FLAIR MR image.
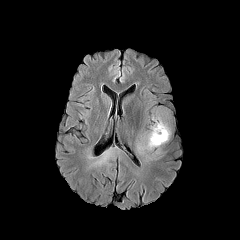
T1-weighted MR image.
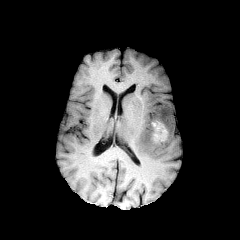
Post-contrast T1-weighted MRI.
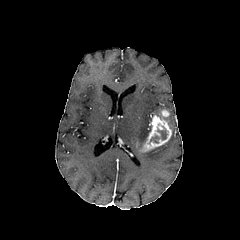
T2-weighted MR image.
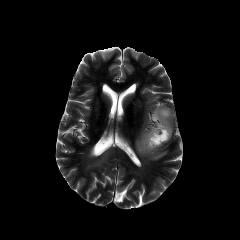
Head; Axial slice
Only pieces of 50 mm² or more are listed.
enhancing tumor — left=139, top=108, right=172, bottom=152
peritumoral edema — left=136, top=132, right=159, bottom=159
necrotic tumor core — left=158, top=130, right=166, bottom=139